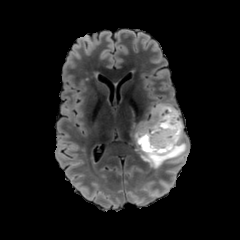
FLAIR MR image.
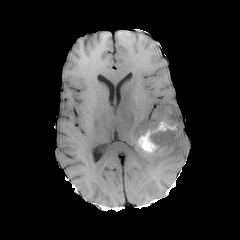
Same slice, T1-weighted MR image.
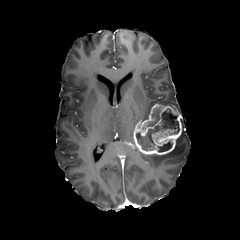
Post-contrast T1-weighted MR.
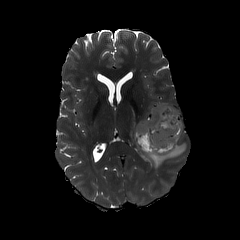
Same slice, T2-weighted MRI.
240x240
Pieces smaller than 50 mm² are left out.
peritumoral edema: bounding box 138, 132, 187, 168
enhancing tumor: bounding box 133, 104, 182, 155
necrotic tumor core: bounding box 136, 107, 179, 150; 158, 141, 171, 151